Head, Axial plane, 240x240
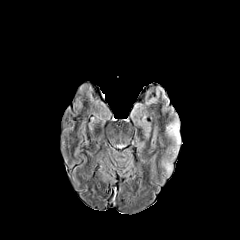
FLAIR magnetic resonance.
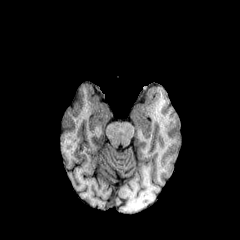
T1-weighted MR.
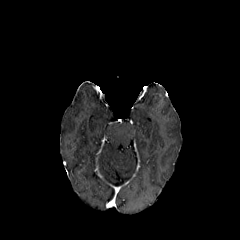
Post-contrast T1-weighted MR.
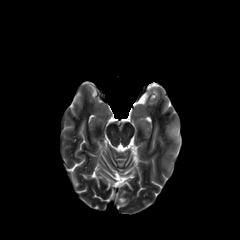
T2-weighted magnetic resonance of the same slice.
peritumoral edema: bbox=[166, 122, 180, 144]; bbox=[164, 162, 172, 172]